Brain | Slice 43 of 155 | Axial slice
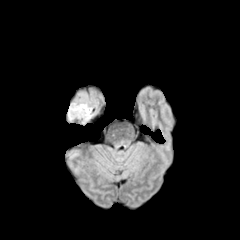
FLAIR MR image.
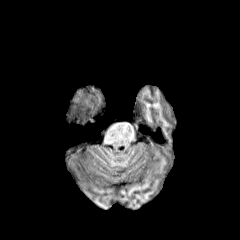
T1-weighted MR of the same slice.
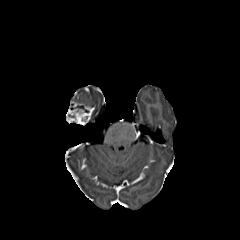
Post-contrast T1-weighted magnetic resonance of the same slice.
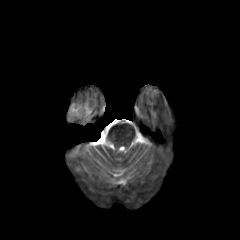
T2-weighted MR of the same slice.
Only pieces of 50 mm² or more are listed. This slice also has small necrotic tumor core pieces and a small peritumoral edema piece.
<segmentation>
  <enhancing_tumor>[66,102,93,124]</enhancing_tumor>
</segmentation>